Axial plane | Slice index 111
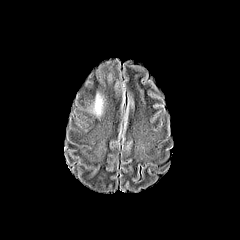
FLAIR magnetic resonance.
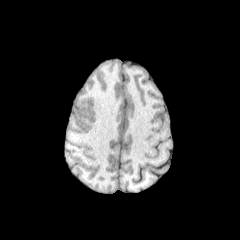
T1-weighted MRI of the same slice.
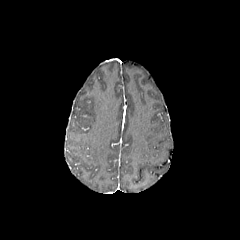
Post-contrast T1-weighted MR image of the same slice.
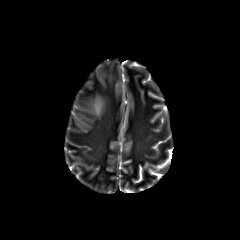
T2-weighted MR.
<segmentation>
  <peritumoral_edema>x1=93, y1=91, x2=104, y2=117</peritumoral_edema>
</segmentation>